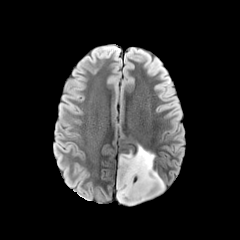
FLAIR MR image.
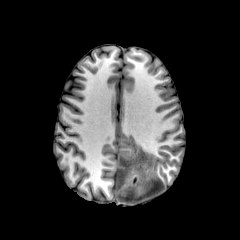
T1-weighted MRI of the same slice.
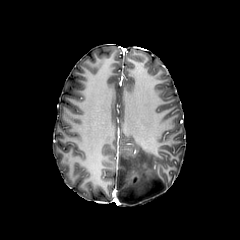
Same slice, post-contrast T1-weighted MR.
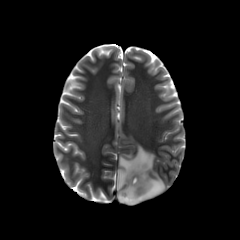
Same slice, T2-weighted MR.
Axial slice, Head
peritumoral edema: 116,145,165,205